Axial view; 240x240
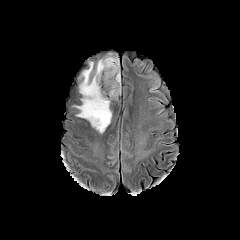
FLAIR MRI.
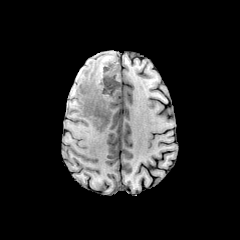
T1-weighted MR of the same slice.
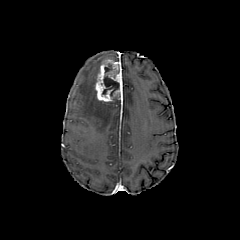
Post-contrast T1-weighted magnetic resonance.
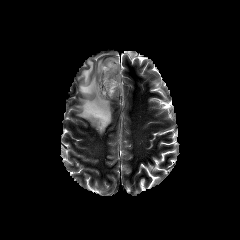
T2-weighted MR image of the same slice.
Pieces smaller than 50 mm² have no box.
necrotic tumor core at box(102, 76, 119, 96)
peritumoral edema at box(74, 53, 118, 133)
enhancing tumor at box(95, 59, 122, 101)